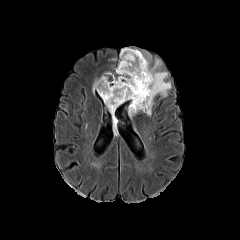
FLAIR magnetic resonance.
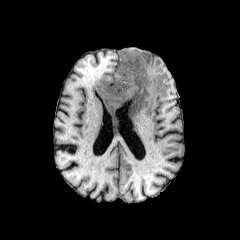
Same slice, T1-weighted MR.
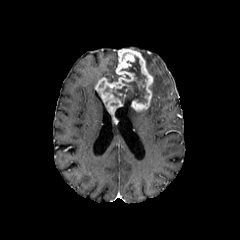
Post-contrast T1-weighted magnetic resonance.
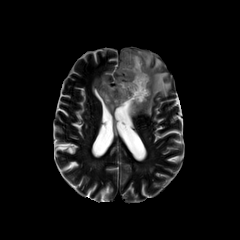
T2-weighted MR image of the same slice.
Axial slice. Head.
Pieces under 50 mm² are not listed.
enhancing tumor: bounding box left=95, top=49, right=153, bottom=124
necrotic tumor core: bounding box left=112, top=57, right=146, bottom=102
peritumoral edema: bounding box left=127, top=101, right=138, bottom=117; left=99, top=72, right=121, bottom=82; left=133, top=49, right=171, bottom=116